Slice index 106 | Axial slice | Image width 240 mm | Head
FLAIR magnetic resonance.
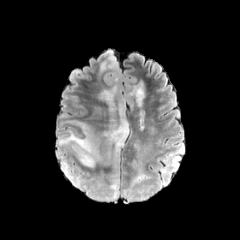
T1-weighted magnetic resonance.
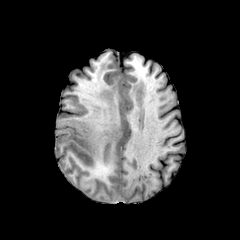
Post-contrast T1-weighted magnetic resonance.
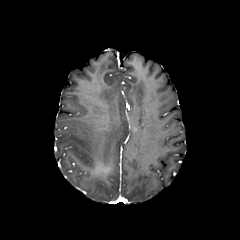
T2-weighted MRI.
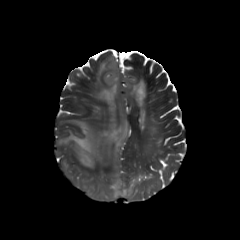
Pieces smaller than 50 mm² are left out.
• peritumoral edema: x1=131, y1=82, x2=144, y2=106; x1=89, y1=171, x2=146, y2=200; x1=58, y1=120, x2=102, y2=168; x1=100, y1=84, x2=117, y2=112; x1=61, y1=161, x2=73, y2=180; x1=101, y1=118, x2=128, y2=169